Slice index 99
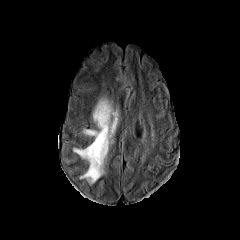
FLAIR magnetic resonance.
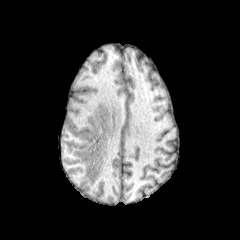
T1-weighted MR image.
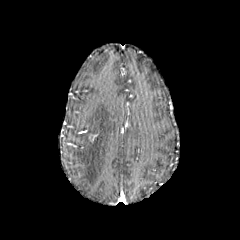
Post-contrast T1-weighted magnetic resonance.
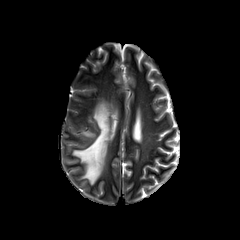
T2-weighted MRI of the same slice.
peritumoral edema: 73, 99, 117, 183